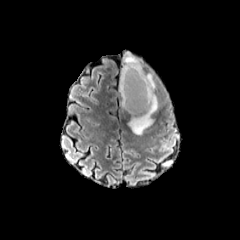
FLAIR MR image.
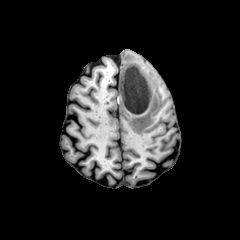
T1-weighted MRI of the same slice.
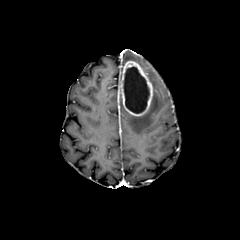
Post-contrast T1-weighted MRI.
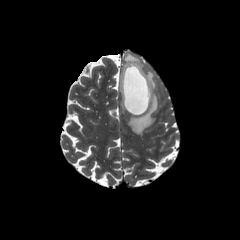
T2-weighted MR.
Head; Axial slice
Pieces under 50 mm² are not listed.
{"enhancing_tumor": ["x1=120 y1=60 x2=153 y2=116"], "peritumoral_edema": ["x1=123 y1=52 x2=142 y2=67", "x1=148 y1=72 x2=155 y2=89", "x1=128 y1=91 x2=158 y2=134"], "necrotic_tumor_core": ["x1=123 y1=67 x2=149 y2=113"]}